Slice 84 of 155. Head. Image covers 240 mm x 240 mm.
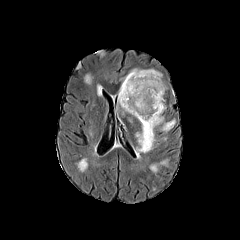
FLAIR MRI.
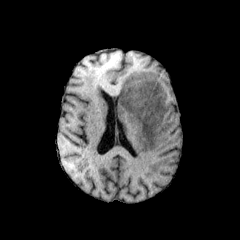
Same slice, T1-weighted MRI.
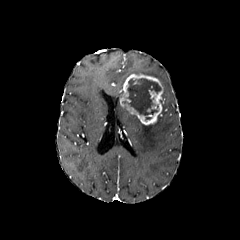
Post-contrast T1-weighted MR of the same slice.
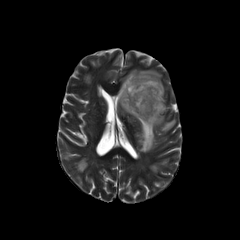
T2-weighted MR.
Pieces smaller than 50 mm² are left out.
Findings:
- necrotic tumor core: region(127, 78, 160, 115)
- enhancing tumor: region(119, 73, 164, 125)
- peritumoral edema: region(135, 115, 175, 157); region(120, 68, 166, 96)